FLAIR MRI.
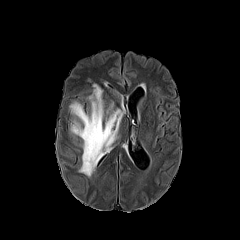
T1-weighted MRI.
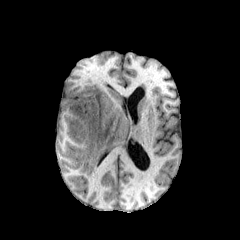
Post-contrast T1-weighted magnetic resonance.
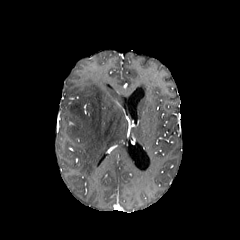
T2-weighted MR image.
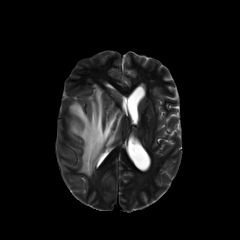
240x240 px | Brain
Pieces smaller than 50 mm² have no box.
{
  "peritumoral_edema": [
    "bbox(69, 84, 123, 176)"
  ]
}